Slice 59/155. 240x240.
FLAIR magnetic resonance.
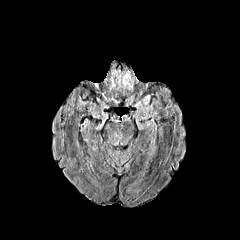
T1-weighted MRI.
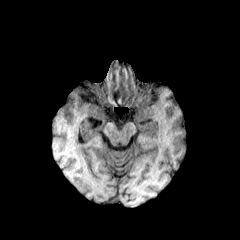
Post-contrast T1-weighted MR.
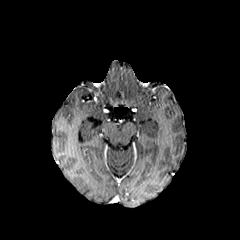
T2-weighted magnetic resonance.
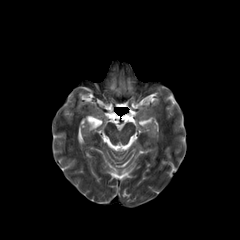
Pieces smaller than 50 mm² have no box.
Annotated regions:
* peritumoral edema: [x1=134, y1=100, x2=143, y2=114], [x1=143, y1=94, x2=150, y2=104], [x1=109, y1=68, x2=134, y2=94], [x1=125, y1=95, x2=133, y2=106]